FLAIR MR image.
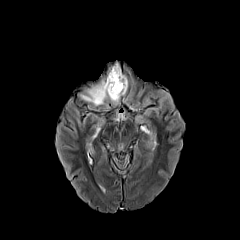
T1-weighted MRI.
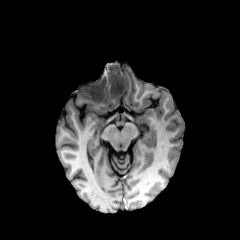
Post-contrast T1-weighted MR.
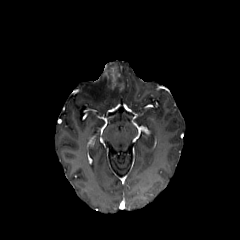
T2-weighted MR.
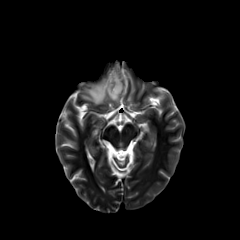
Axial plane, Brain
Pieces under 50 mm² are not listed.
Segmented structures:
* peritumoral edema: <bbox>80, 63, 127, 105</bbox>
* enhancing tumor: <bbox>108, 66, 123, 90</bbox>